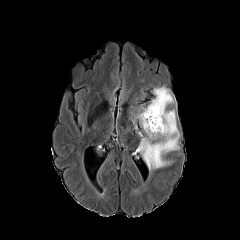
FLAIR MR image.
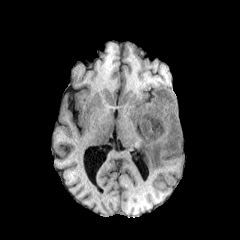
T1-weighted MR image of the same slice.
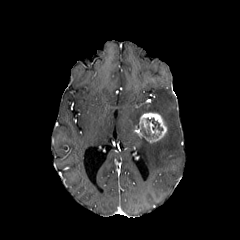
Post-contrast T1-weighted MR image.
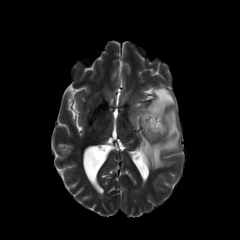
T2-weighted magnetic resonance.
peritumoral edema at x1=132, y1=86, x2=180, y2=170
enhancing tumor at x1=140, y1=112, x2=167, y2=142
necrotic tumor core at x1=147, y1=118, x2=162, y2=130